Brain
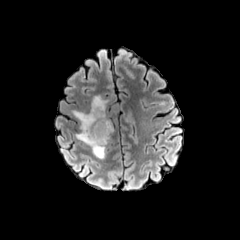
FLAIR MR.
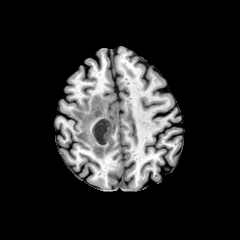
Same slice, T1-weighted MR image.
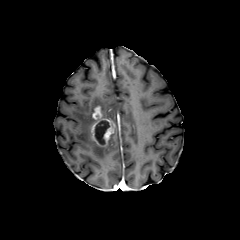
Post-contrast T1-weighted MRI.
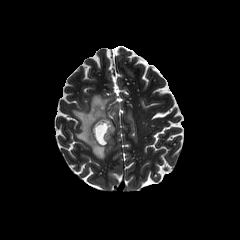
T2-weighted magnetic resonance.
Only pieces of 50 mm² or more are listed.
necrotic_tumor_core:
  - 95:120:109:144
peritumoral_edema:
  - 72:95:109:159
enhancing_tumor:
  - 91:106:114:146